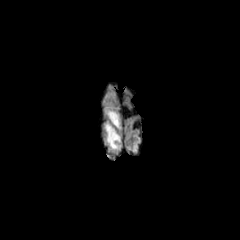
FLAIR MRI.
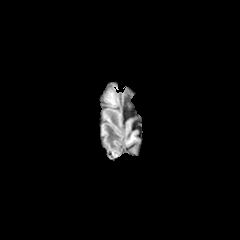
Same slice, T1-weighted MRI.
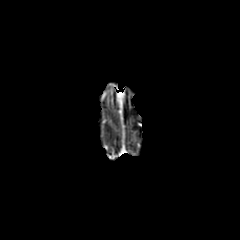
Same slice, post-contrast T1-weighted MRI.
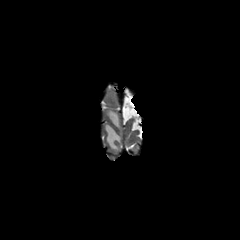
T2-weighted MR of the same slice.
Head | 240x240 px
peritumoral edema: [104,122,120,152], [105,108,120,129]